FLAIR MRI.
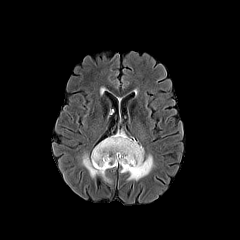
T1-weighted MRI.
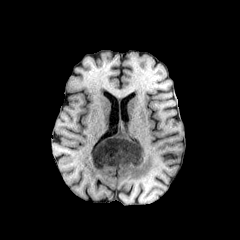
Post-contrast T1-weighted MR.
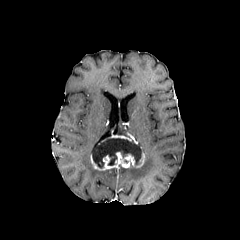
T2-weighted MRI.
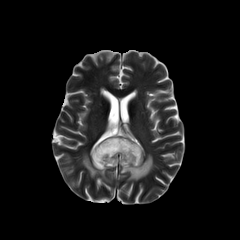
Brain
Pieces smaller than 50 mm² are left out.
Annotated regions:
• necrotic tumor core: <box>92,138,141,168</box>
• peritumoral edema: <box>82,153,110,182</box>, <box>120,154,153,180</box>
• enhancing tumor: <box>90,135,144,170</box>